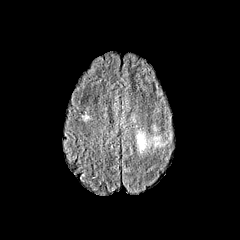
FLAIR magnetic resonance.
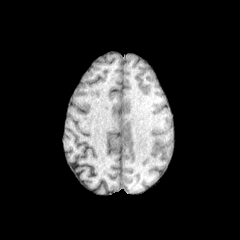
Same slice, T1-weighted magnetic resonance.
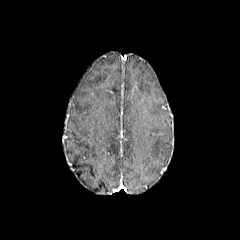
Same slice, post-contrast T1-weighted MRI.
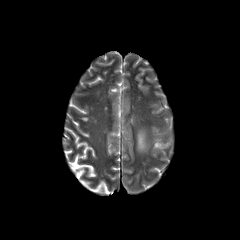
Same slice, T2-weighted magnetic resonance.
Axial plane; Brain
Annotated regions:
* peritumoral edema: [x1=137, y1=133, x2=145, y2=151]